Image width 240 mm, Head, Slice index 101
FLAIR magnetic resonance.
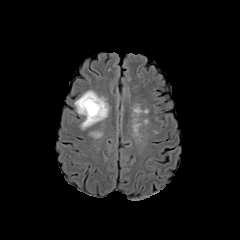
T1-weighted MR image.
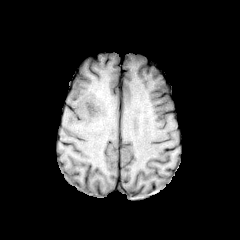
Post-contrast T1-weighted MR.
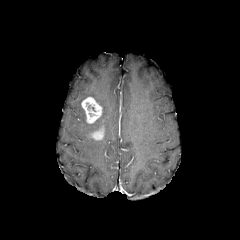
T2-weighted magnetic resonance.
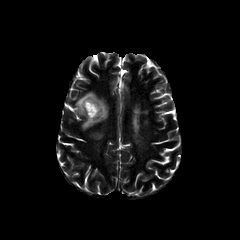
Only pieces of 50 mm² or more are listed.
enhancing tumor at 91,128,103,139; 81,97,102,123
peritumoral edema at 74,90,108,129
necrotic tumor core at 86,102,95,115